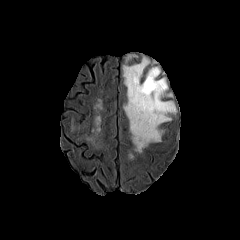
FLAIR MR image.
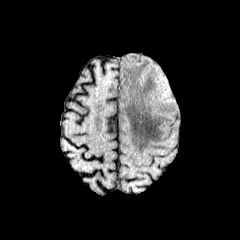
Same slice, T1-weighted MRI.
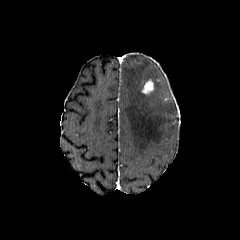
Post-contrast T1-weighted MR image of the same slice.
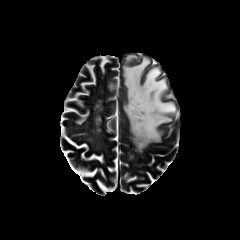
T2-weighted MR.
Axial plane
The enhancing tumor is at box=[141, 79, 154, 94]. The peritumoral edema is bounded by box=[123, 55, 176, 152].